FLAIR MR image.
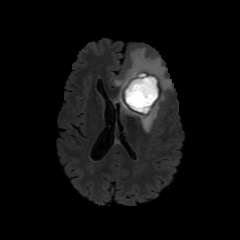
T1-weighted MRI.
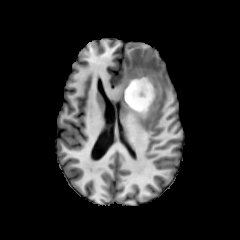
Post-contrast T1-weighted MR image.
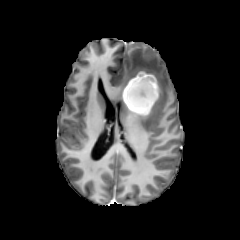
T2-weighted magnetic resonance.
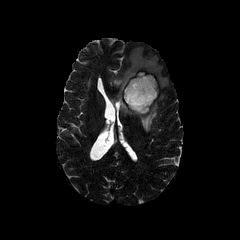
240x240 px.
enhancing_tumor:
  - 123,71,158,116
peritumoral_edema:
  - 113,48,171,132
necrotic_tumor_core:
  - 126,77,153,109